FLAIR MR image.
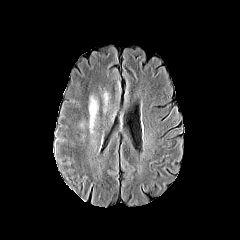
T1-weighted MRI.
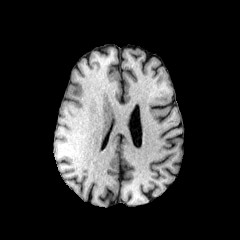
Post-contrast T1-weighted MR.
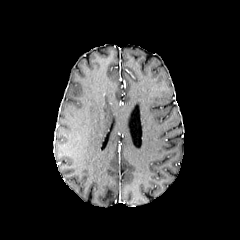
T2-weighted MR image.
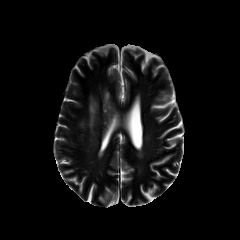
240x240, Brain
The peritumoral edema appears at [x1=89, y1=98, x2=97, y2=130].